FLAIR MR image.
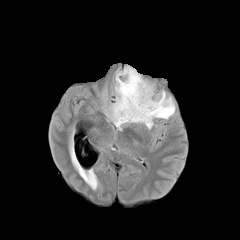
T1-weighted magnetic resonance.
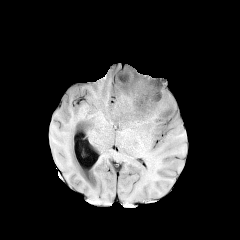
Post-contrast T1-weighted magnetic resonance.
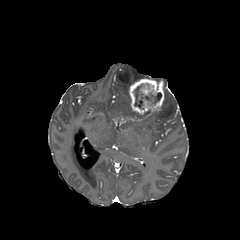
T2-weighted MRI.
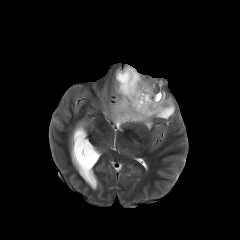
Axial view, Brain
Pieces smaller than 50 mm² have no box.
necrotic tumor core — bbox(145, 92, 161, 103); bbox(134, 86, 143, 108)
peritumoral edema — bbox(105, 66, 175, 129)
enhancing tumor — bbox(113, 116, 141, 125); bbox(129, 79, 164, 116)